FLAIR MR image.
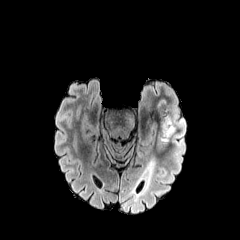
T1-weighted MRI.
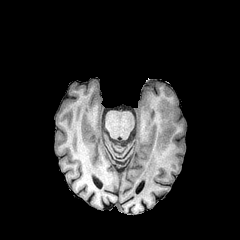
Post-contrast T1-weighted MR image.
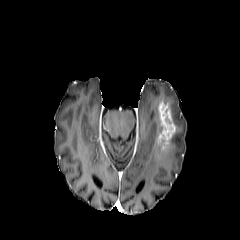
T2-weighted magnetic resonance.
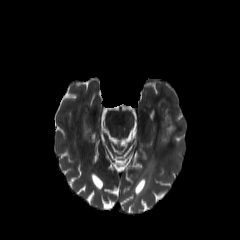
Brain
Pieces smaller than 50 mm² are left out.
peritumoral edema: bounding box l=152, t=95, r=186, b=159
enhancing tumor: bounding box l=157, t=100, r=175, b=148